Head. Slice 50 of 155.
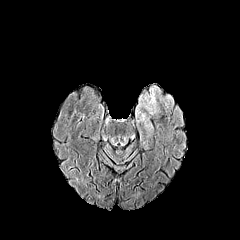
FLAIR magnetic resonance.
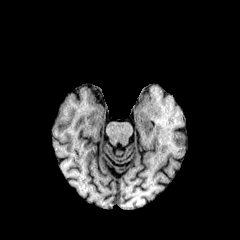
Same slice, T1-weighted magnetic resonance.
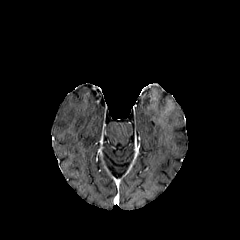
Post-contrast T1-weighted magnetic resonance.
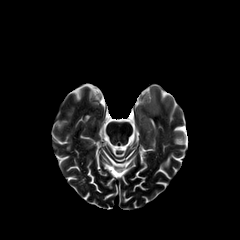
T2-weighted MR of the same slice.
{
  "peritumoral_edema": [
    "<box>149,89,156,113</box>"
  ]
}